Head
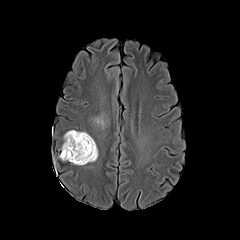
FLAIR magnetic resonance.
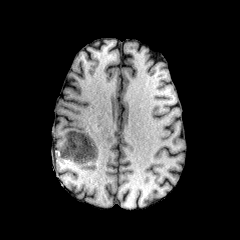
T1-weighted magnetic resonance of the same slice.
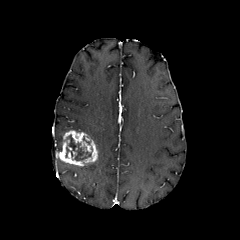
Same slice, post-contrast T1-weighted MR.
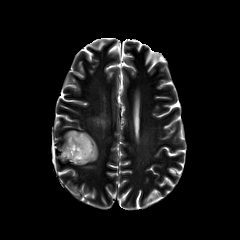
T2-weighted MRI of the same slice.
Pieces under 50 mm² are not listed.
enhancing tumor: [58,130,97,165] | peritumoral edema: [91,115,106,127] | necrotic tumor core: [67,135,91,160]